Axial slice
FLAIR MR image.
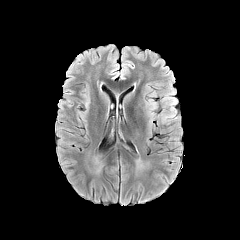
T1-weighted MRI.
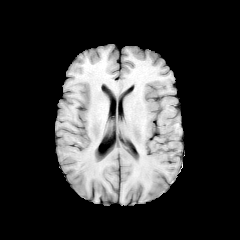
Post-contrast T1-weighted magnetic resonance.
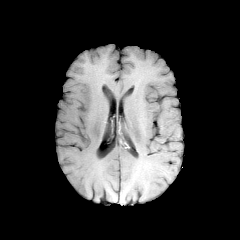
T2-weighted magnetic resonance.
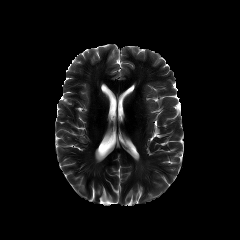
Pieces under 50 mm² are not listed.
peritumoral edema: bounding box bbox=[166, 96, 176, 105]